240x240 px. Image width 240 mm. Axial plane.
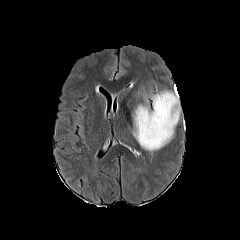
FLAIR MR.
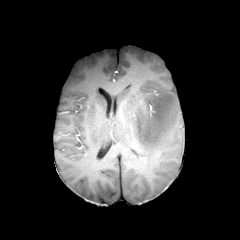
T1-weighted MRI.
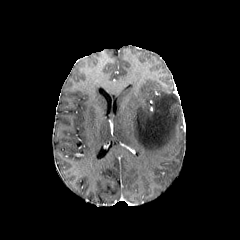
Post-contrast T1-weighted magnetic resonance.
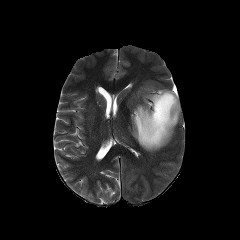
T2-weighted MRI.
{
  "peritumoral_edema": [
    "<bbox>133, 90, 180, 151</bbox>"
  ]
}